Slice 102 of 155; Axial slice; Image width 240 mm, 1.00 mm slice spacing; Brain
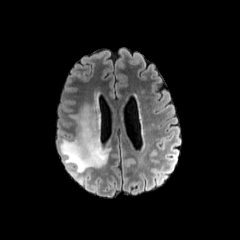
FLAIR MR image.
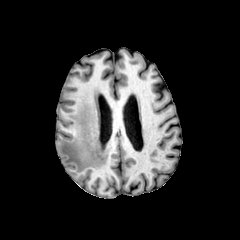
T1-weighted MR.
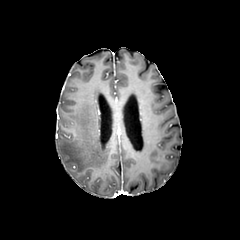
Post-contrast T1-weighted MR image of the same slice.
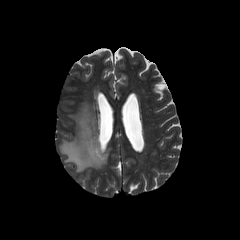
T2-weighted magnetic resonance.
The peritumoral edema is bounded by rect(59, 97, 110, 172).